Slice 71 of 155; 240x240; Axial view
FLAIR MR.
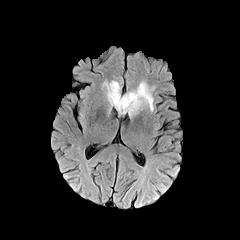
T1-weighted magnetic resonance.
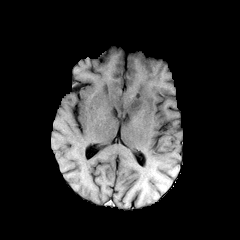
Post-contrast T1-weighted MRI.
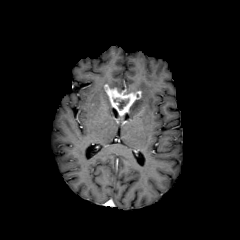
T2-weighted MR image.
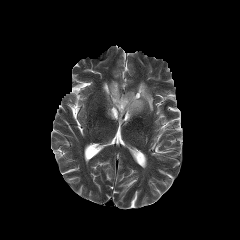
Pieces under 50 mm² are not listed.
* enhancing tumor: <bbox>104, 84, 141, 115</bbox>
* necrotic tumor core: <bbox>118, 100, 128, 109</bbox>
* peritumoral edema: <bbox>126, 81, 154, 116</bbox>, <bbox>103, 80, 125, 93</bbox>